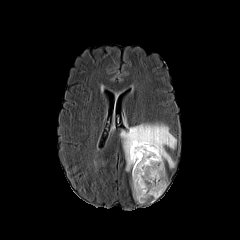
FLAIR MRI.
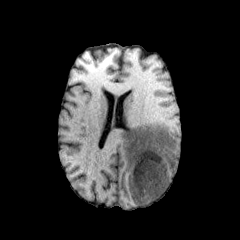
Same slice, T1-weighted MR.
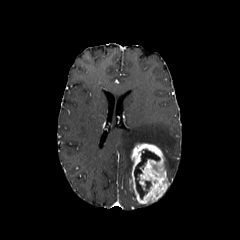
Post-contrast T1-weighted MR image of the same slice.
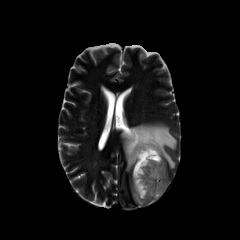
T2-weighted magnetic resonance of the same slice.
Axial plane | Brain
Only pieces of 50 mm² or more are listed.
enhancing tumor: bounding box box=[130, 143, 169, 203]
peritumoral edema: bounding box box=[120, 122, 176, 171]
necrotic tumor core: bounding box box=[134, 149, 159, 198]